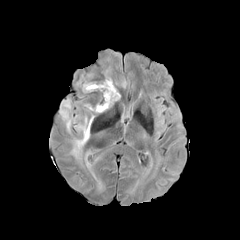
FLAIR MR image.
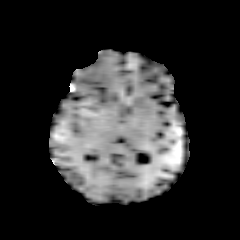
T1-weighted magnetic resonance of the same slice.
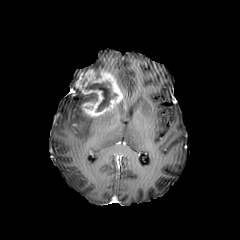
Post-contrast T1-weighted MRI.
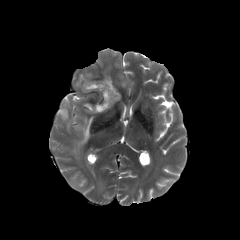
Same slice, T2-weighted magnetic resonance.
Brain | Axial slice
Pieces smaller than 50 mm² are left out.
necrotic tumor core — rect(86, 82, 112, 111)
peritumoral edema — rect(60, 99, 93, 158)
enhancing tumor — rect(75, 69, 122, 117)